Brain, Image width 240 mm
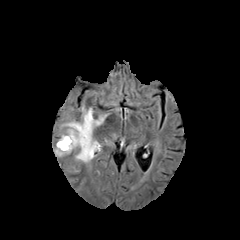
FLAIR MRI.
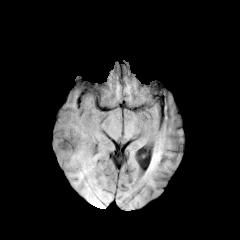
T1-weighted MRI.
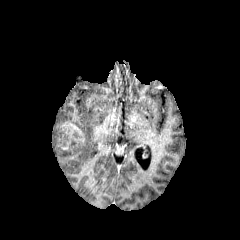
Post-contrast T1-weighted MR image.
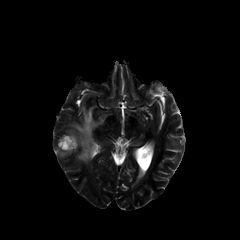
T2-weighted MR.
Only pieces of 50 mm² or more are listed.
The peritumoral edema is located at <bbox>55, 107, 103, 162</bbox>. The largest enhancing tumor region is bounded by <bbox>59, 131, 78, 149</bbox>.